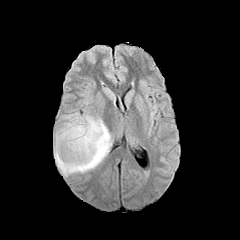
FLAIR MR.
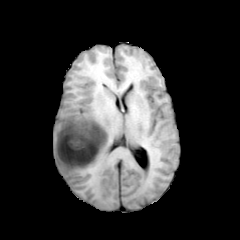
T1-weighted magnetic resonance.
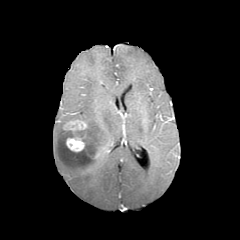
Post-contrast T1-weighted MRI.
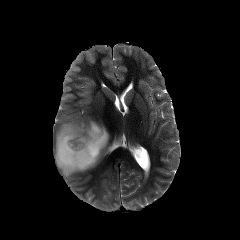
T2-weighted MR of the same slice.
Head
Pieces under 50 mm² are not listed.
peritumoral edema at [x1=54, y1=113, x2=111, y2=176]
enhancing tumor at [x1=63, y1=120, x2=110, y2=158]
necrotic tumor core at [x1=75, y1=125, x2=105, y2=146], [x1=86, y1=144, x2=97, y2=156]